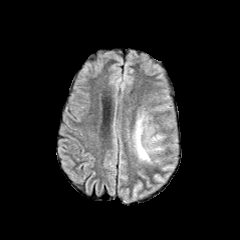
FLAIR MRI.
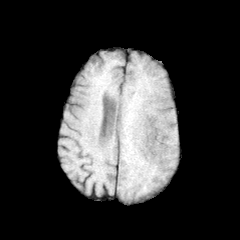
T1-weighted magnetic resonance of the same slice.
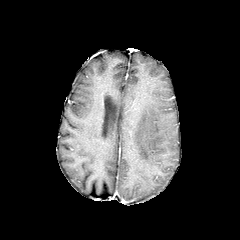
Post-contrast T1-weighted MR image.
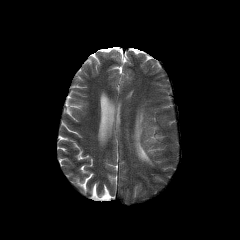
T2-weighted magnetic resonance of the same slice.
Brain
2 peritumoral edema regions are located at <bbox>145, 135, 161, 145</bbox>, <bbox>133, 114, 162, 161</bbox>.